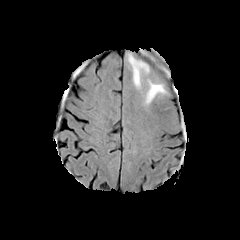
FLAIR magnetic resonance.
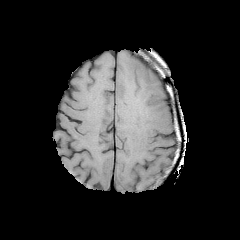
T1-weighted MR image of the same slice.
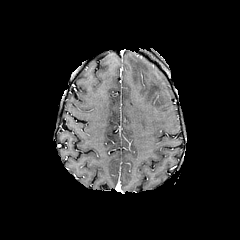
Post-contrast T1-weighted MR of the same slice.
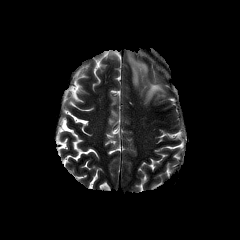
T2-weighted MRI of the same slice.
Axial view | Brain | Image size 240x240
Annotated regions:
* peritumoral edema: [144,79,165,104], [128,54,149,88]